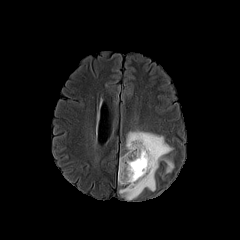
FLAIR MR.
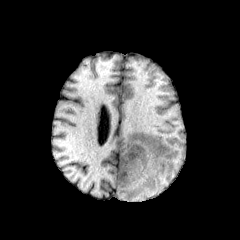
T1-weighted MR image.
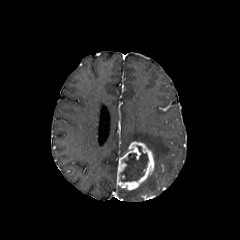
Same slice, post-contrast T1-weighted MRI.
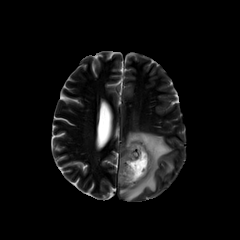
T2-weighted MR image.
Axial plane.
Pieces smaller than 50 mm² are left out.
peritumoral edema — <box>119,130,173,200</box>
necrotic tumor core — <box>120,146,148,181</box>
enhancing tumor — <box>117,141,154,190</box>